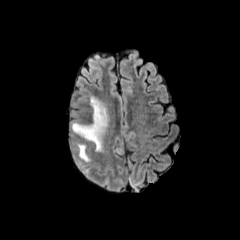
FLAIR MRI.
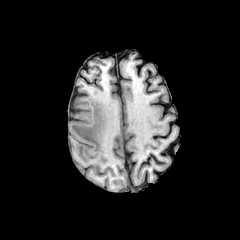
T1-weighted MRI.
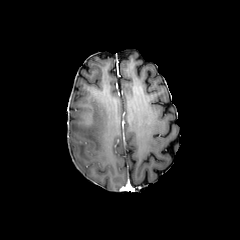
Post-contrast T1-weighted magnetic resonance.
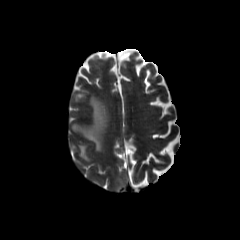
T2-weighted MR.
Head.
peritumoral edema — <bbox>71, 96, 110, 152</bbox>, <bbox>77, 143, 91, 162</bbox>